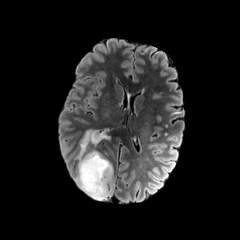
FLAIR magnetic resonance.
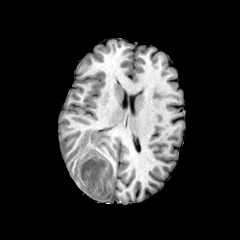
Same slice, T1-weighted MR.
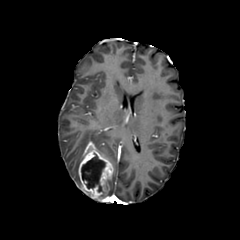
Post-contrast T1-weighted MRI.
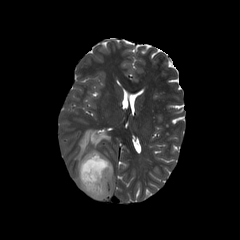
T2-weighted MR image.
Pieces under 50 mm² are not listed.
Annotated regions:
- enhancing tumor: <box>78,142,113,201</box>
- peritumoral edema: <box>109,172,113,195</box>, <box>74,129,111,187</box>
- necrotic tumor core: <box>81,154,105,192</box>